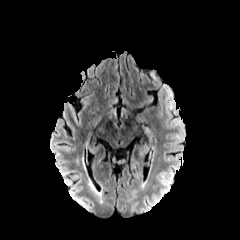
FLAIR MR.
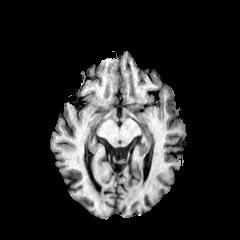
T1-weighted MRI of the same slice.
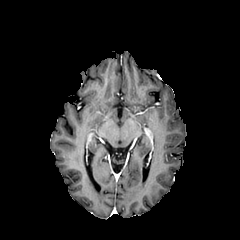
Same slice, post-contrast T1-weighted magnetic resonance.
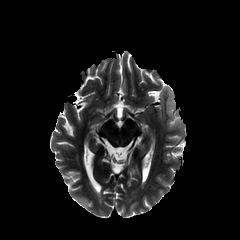
T2-weighted magnetic resonance.
240x240 px.
peritumoral edema: bounding box rect(162, 85, 178, 116)